Brain; Slice 121 of 155; Axial plane
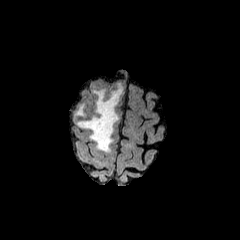
FLAIR MR.
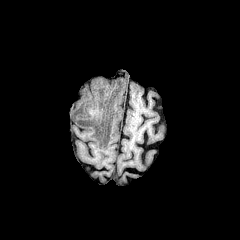
Same slice, T1-weighted MR.
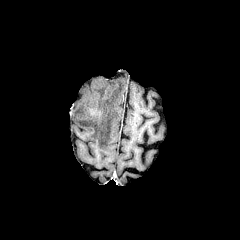
Same slice, post-contrast T1-weighted MR.
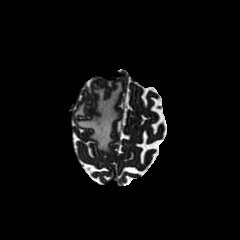
T2-weighted magnetic resonance.
Findings:
* peritumoral edema: 76 83 122 152, 74 104 84 118